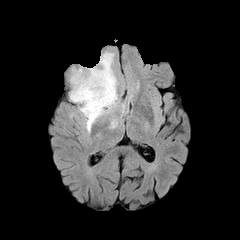
FLAIR magnetic resonance.
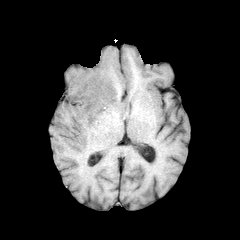
T1-weighted MR.
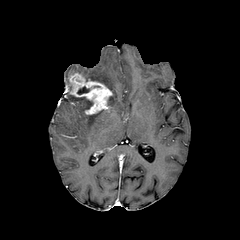
Post-contrast T1-weighted MRI of the same slice.
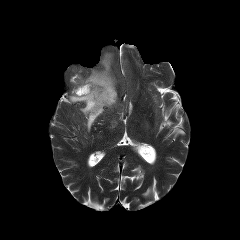
Same slice, T2-weighted MRI.
Axial view, Brain, 240x240 px
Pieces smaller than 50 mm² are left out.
enhancing tumor: bounding box [69,73,112,114]
peritumoral edema: bounding box [70,53,117,131]
necrotic tumor core: bounding box [77,86,89,94]